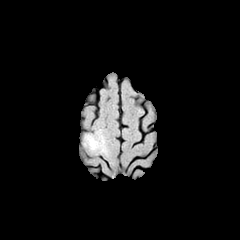
FLAIR magnetic resonance.
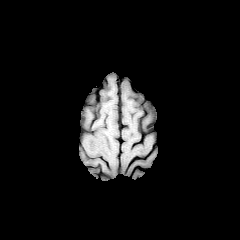
T1-weighted MR image.
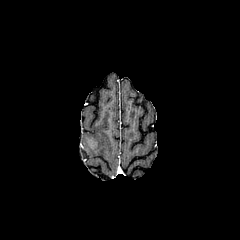
Same slice, post-contrast T1-weighted MR.
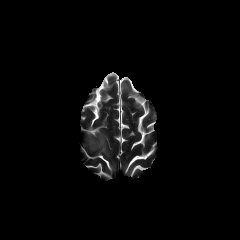
Same slice, T2-weighted MRI.
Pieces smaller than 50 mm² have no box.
{
  "peritumoral_edema": [
    "left=80, top=128, right=108, bottom=159"
  ],
  "enhancing_tumor": [
    "left=85, top=137, right=98, bottom=149"
  ]
}